Slice 51 of 155. 240x240 px. Brain.
FLAIR magnetic resonance.
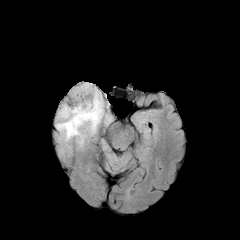
T1-weighted MR.
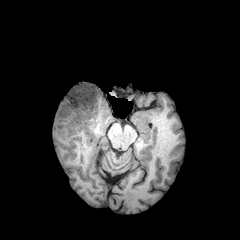
Post-contrast T1-weighted MRI.
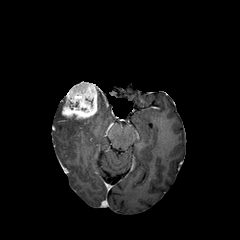
T2-weighted MR image.
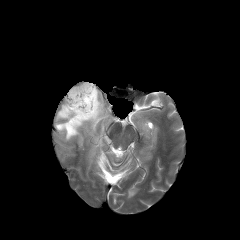
• enhancing tumor: [62,81,98,119]
• peritumoral edema: [56,90,110,146]